240x240 px. Image covers 240 mm x 240 mm. Axial plane.
FLAIR MR image.
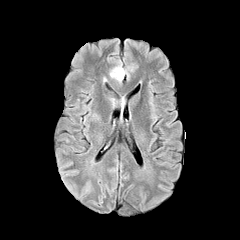
T1-weighted magnetic resonance.
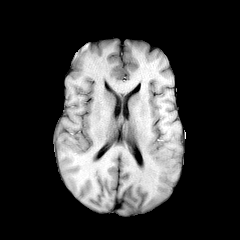
Post-contrast T1-weighted magnetic resonance.
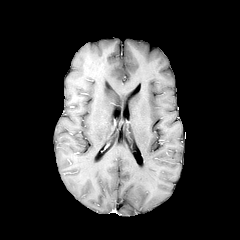
T2-weighted magnetic resonance.
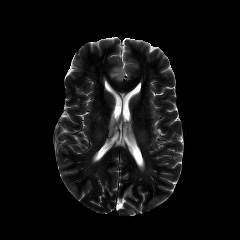
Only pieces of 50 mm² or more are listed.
The largest peritumoral edema region appears at region(110, 65, 126, 82).